FLAIR MR image.
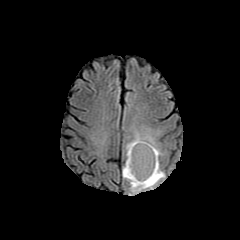
T1-weighted magnetic resonance.
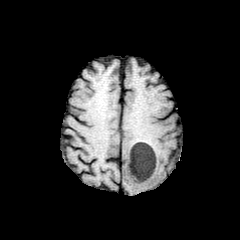
Post-contrast T1-weighted magnetic resonance.
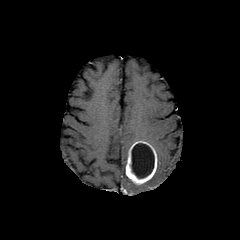
T2-weighted MR image.
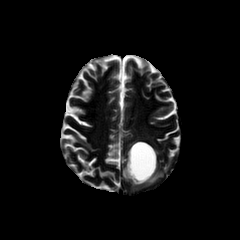
240x240 px
peritumoral edema = bbox=[122, 129, 165, 193]
enhancing tumor = bbox=[125, 141, 157, 184]
necrotic tumor core = bbox=[131, 143, 154, 178]